Image size 240x240 | Axial view
FLAIR magnetic resonance.
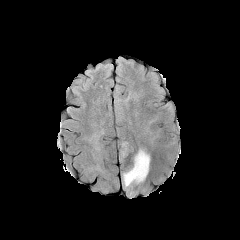
T1-weighted MRI.
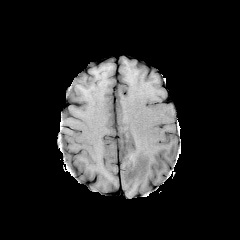
Post-contrast T1-weighted MR.
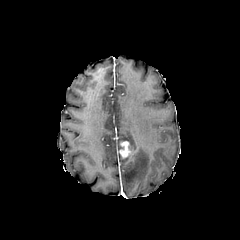
T2-weighted magnetic resonance.
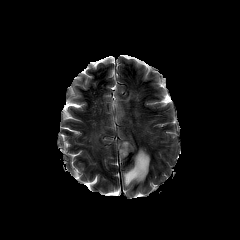
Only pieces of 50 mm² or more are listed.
enhancing tumor: [120, 141, 130, 158] | peritumoral edema: [122, 148, 150, 195]